Image width 240 mm; Head
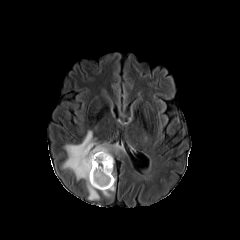
FLAIR MR.
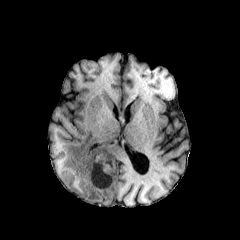
T1-weighted MR image of the same slice.
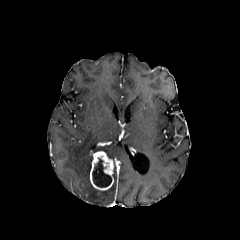
Post-contrast T1-weighted MRI of the same slice.
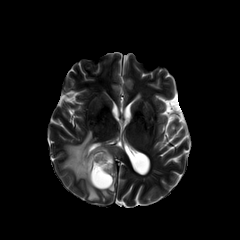
T2-weighted magnetic resonance.
Annotated regions:
* necrotic tumor core: (92, 158, 111, 187)
* peritumoral edema: (62, 131, 124, 200), (101, 177, 115, 197)
* enhancing tumor: (90, 151, 113, 190)